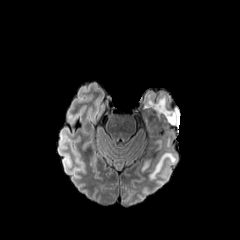
FLAIR MR.
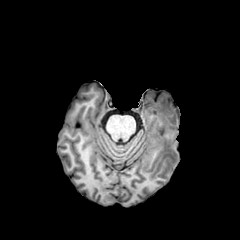
T1-weighted MR image.
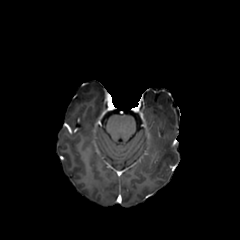
Post-contrast T1-weighted magnetic resonance.
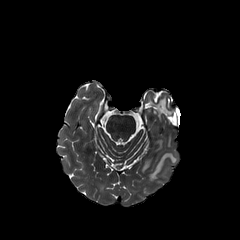
T2-weighted MRI of the same slice.
Head
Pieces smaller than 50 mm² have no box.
peritumoral edema: bbox=[142, 95, 176, 124]; bbox=[149, 152, 177, 179]